Image covers 240 mm x 240 mm. Axial view. Slice index 34. Brain.
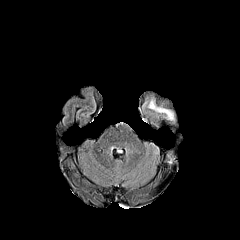
FLAIR MR image.
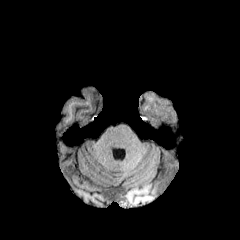
T1-weighted MR image.
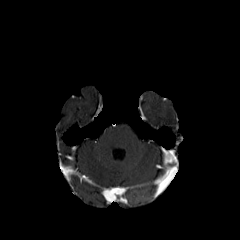
Post-contrast T1-weighted MRI of the same slice.
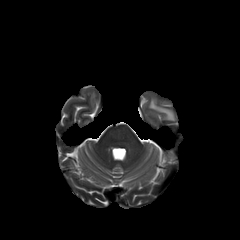
Same slice, T2-weighted MRI.
<segmentation>
  <peritumoral_edema>[x1=147, y1=97, x2=176, y2=124]</peritumoral_edema>
  <enhancing_tumor>[x1=165, y1=151, x2=175, y2=163]</enhancing_tumor>
</segmentation>